240x240. Head. Axial view.
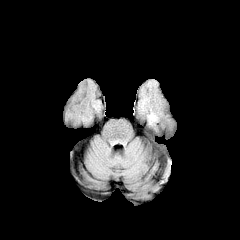
FLAIR MR image.
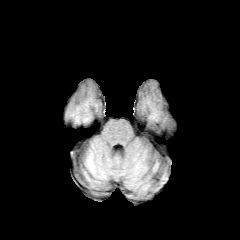
Same slice, T1-weighted magnetic resonance.
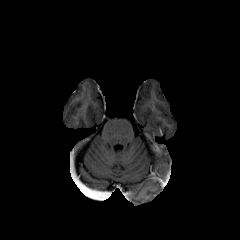
Post-contrast T1-weighted MR image.
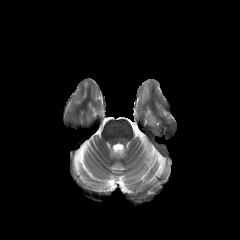
T2-weighted MR image.
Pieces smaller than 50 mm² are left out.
peritumoral_edema:
  - box(149, 114, 156, 124)